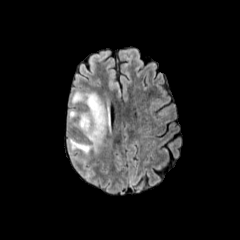
FLAIR MR.
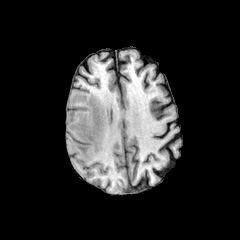
T1-weighted MR.
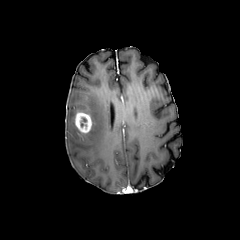
Post-contrast T1-weighted MR image.
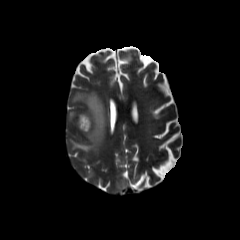
Same slice, T2-weighted MRI.
Brain. 240x240 px. Axial view.
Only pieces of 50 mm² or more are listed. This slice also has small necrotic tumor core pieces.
enhancing tumor — bbox=[75, 111, 92, 133]
peritumoral edema — bbox=[68, 92, 110, 155]; bbox=[68, 109, 77, 127]